Axial view | Slice index 74 | Brain | Image covers 240 mm x 240 mm | 240x240
FLAIR MRI.
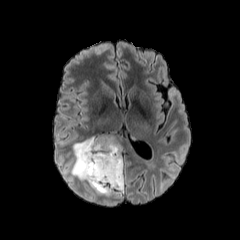
T1-weighted magnetic resonance.
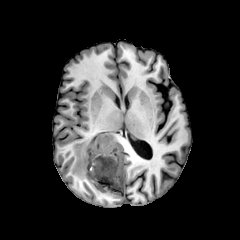
Post-contrast T1-weighted MR image.
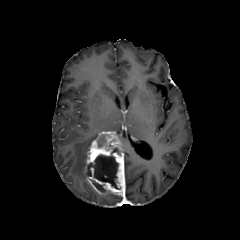
T2-weighted magnetic resonance.
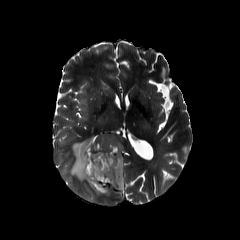
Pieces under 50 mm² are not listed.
enhancing tumor at region(84, 132, 125, 195)
peritumoral edema at region(71, 137, 95, 180)
necrotic tumor core at region(98, 138, 105, 147); region(91, 180, 105, 191); region(87, 147, 119, 189)